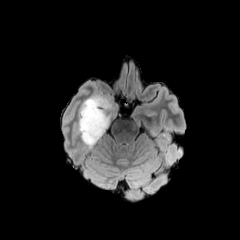
FLAIR MR image.
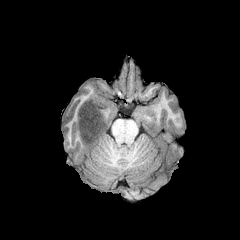
T1-weighted MR.
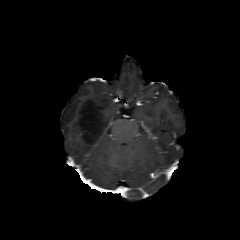
Post-contrast T1-weighted magnetic resonance of the same slice.
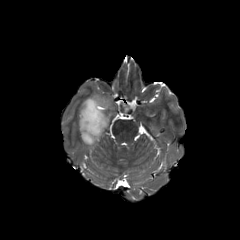
T2-weighted MR.
peritumoral edema at [78, 94, 119, 148]